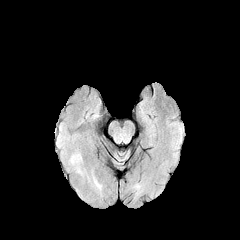
FLAIR magnetic resonance.
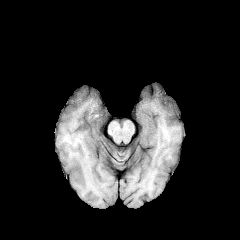
T1-weighted MR image of the same slice.
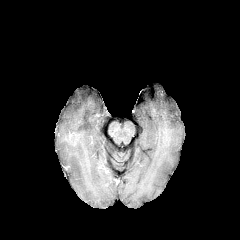
Post-contrast T1-weighted magnetic resonance of the same slice.
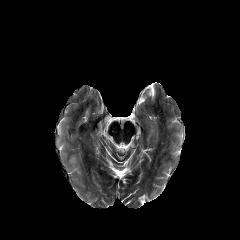
T2-weighted MR of the same slice.
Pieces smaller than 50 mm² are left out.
Segmented structures:
- peritumoral edema: <bbox>69, 154, 82, 174</bbox>